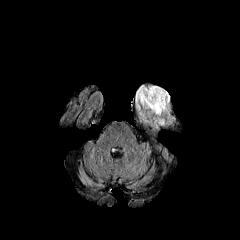
FLAIR MRI.
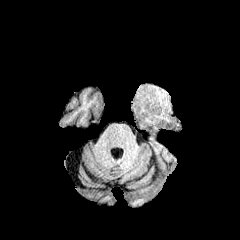
T1-weighted magnetic resonance.
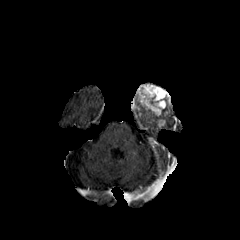
Post-contrast T1-weighted MR image of the same slice.
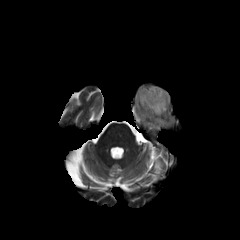
T2-weighted magnetic resonance.
Axial slice
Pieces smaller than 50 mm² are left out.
The largest peritumoral edema region is located at (left=139, top=108, right=173, bottom=128). 2 enhancing tumor regions are bounded by (left=157, top=119, right=165, bottom=126), (left=135, top=84, right=170, bottom=116).